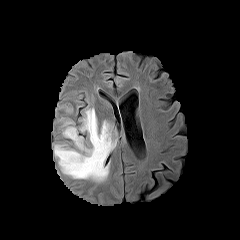
FLAIR MR.
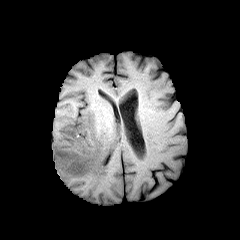
T1-weighted MRI.
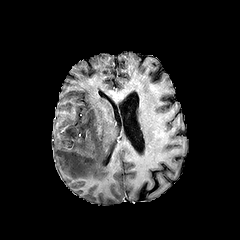
Same slice, post-contrast T1-weighted MRI.
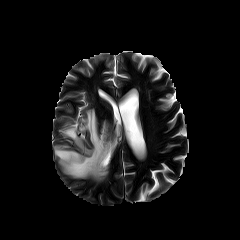
T2-weighted magnetic resonance.
Head, Axial slice
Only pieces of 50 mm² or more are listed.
Segmented structures:
• peritumoral edema: bbox=[54, 108, 116, 181]